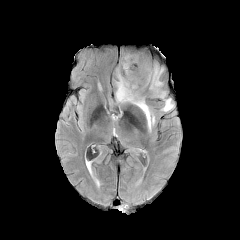
FLAIR MR image.
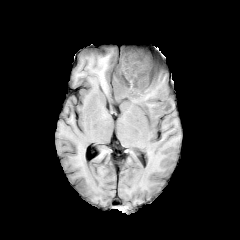
T1-weighted MRI of the same slice.
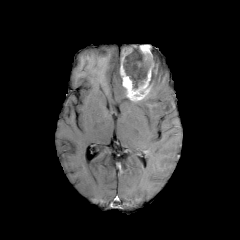
Post-contrast T1-weighted magnetic resonance of the same slice.
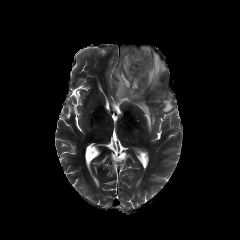
Same slice, T2-weighted MRI.
peritumoral edema = region(161, 98, 173, 112); region(115, 64, 167, 131)
necrotic tumor core = region(123, 46, 148, 88)
enhancing tumor = region(120, 45, 159, 101)